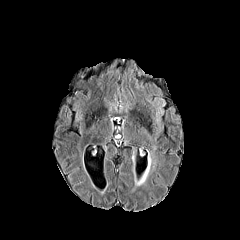
FLAIR magnetic resonance.
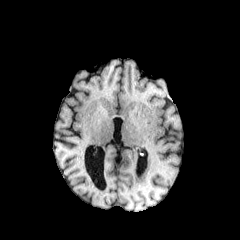
T1-weighted MRI of the same slice.
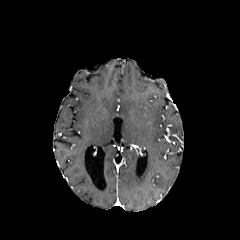
Same slice, post-contrast T1-weighted MR.
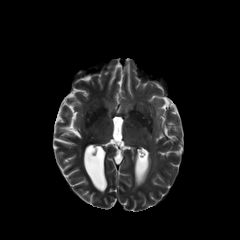
Same slice, T2-weighted MR.
Axial view, 240x240 px
peritumoral_edema:
  - (138, 154, 151, 184)